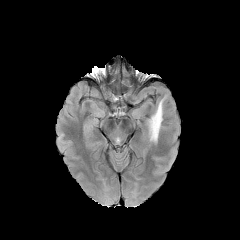
FLAIR MR image.
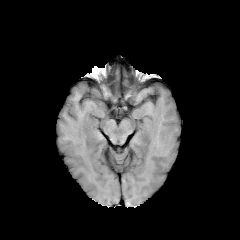
Same slice, T1-weighted magnetic resonance.
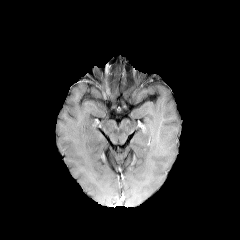
Post-contrast T1-weighted magnetic resonance of the same slice.
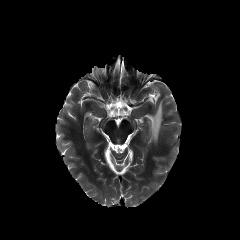
T2-weighted MR.
Brain. Axial plane. 240x240 px.
Segmented structures:
• peritumoral edema: x1=147, y1=98, x2=164, y2=143